Image width 240 mm, 1.00 mm slice spacing; Axial view; Slice index 116
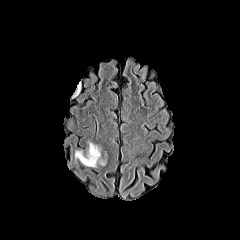
FLAIR magnetic resonance.
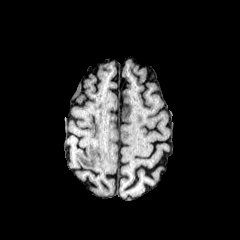
T1-weighted magnetic resonance.
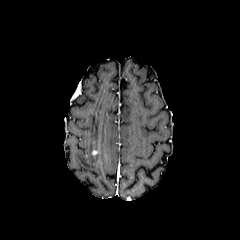
Post-contrast T1-weighted MRI.
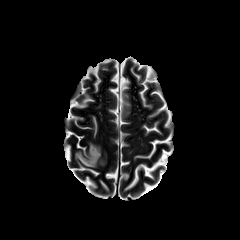
T2-weighted MRI of the same slice.
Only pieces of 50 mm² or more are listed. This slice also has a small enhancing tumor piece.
Annotated regions:
• peritumoral edema: [74,139,108,168]